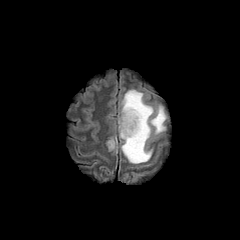
FLAIR MR image.
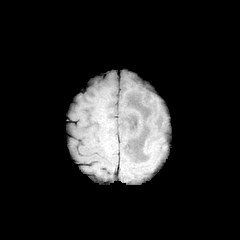
Same slice, T1-weighted MRI.
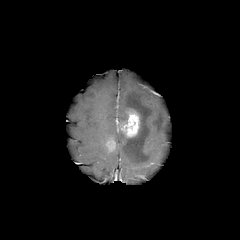
Post-contrast T1-weighted MRI.
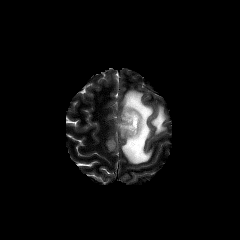
T2-weighted MRI.
Axial slice; 240x240 px; Brain
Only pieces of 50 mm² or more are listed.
peritumoral edema: x1=117, y1=89, x2=166, y2=164 | enhancing tumor: x1=107, y1=140, x2=115, y2=150; x1=117, y1=109, x2=140, y2=137